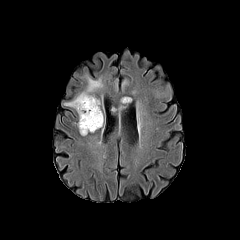
FLAIR MRI.
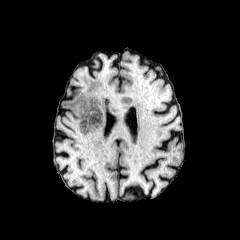
T1-weighted MRI.
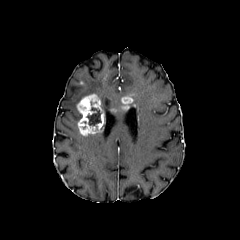
Same slice, post-contrast T1-weighted MRI.
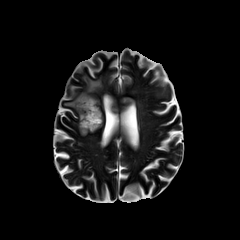
T2-weighted MR.
Brain, Axial view, 240x240 px
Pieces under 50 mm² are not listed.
enhancing tumor: bounding box rect(76, 94, 104, 135); rect(122, 96, 132, 103)
peritumoral edema: bounding box rect(64, 75, 103, 111)
necrotic tumor core: bounding box rect(87, 107, 101, 125)